Image width 240 mm, Brain
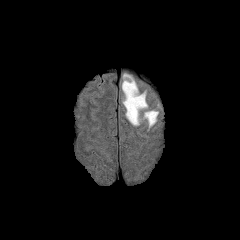
FLAIR MRI.
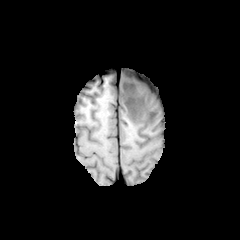
T1-weighted MR.
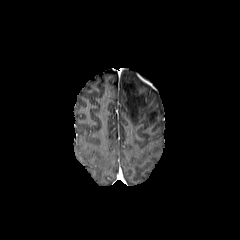
Post-contrast T1-weighted MR image of the same slice.
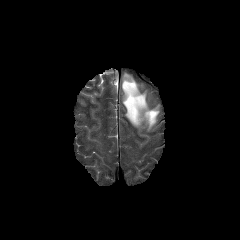
Same slice, T2-weighted MRI.
• peritumoral edema: [x1=121, y1=73, x2=158, y2=128]